FLAIR MR.
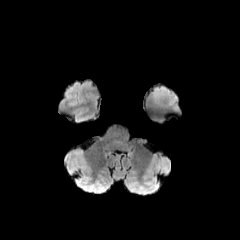
T1-weighted magnetic resonance.
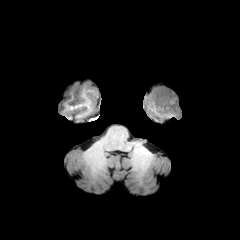
Post-contrast T1-weighted MR.
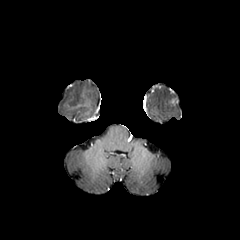
T2-weighted MRI.
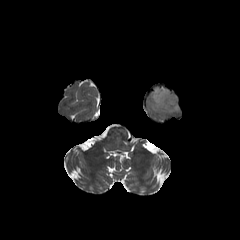
Brain; Axial slice
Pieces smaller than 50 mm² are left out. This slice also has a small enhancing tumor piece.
The peritumoral edema appears at rect(151, 87, 178, 110).